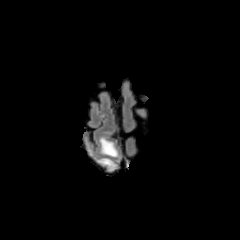
FLAIR MR.
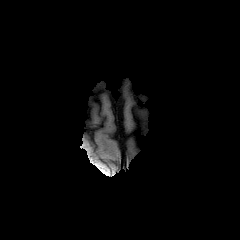
T1-weighted MR image.
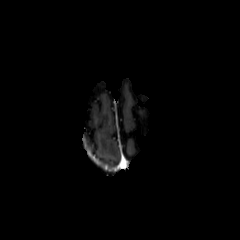
Post-contrast T1-weighted MR.
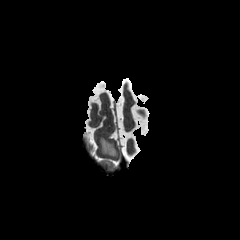
T2-weighted magnetic resonance.
Head, Axial plane
peritumoral_edema:
  - 100, 137, 117, 156
  - 100, 158, 113, 166